Axial slice, Brain
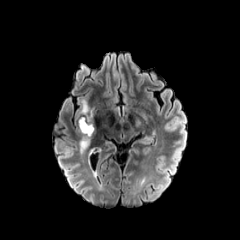
FLAIR MR.
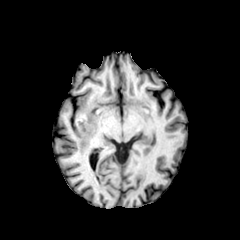
Same slice, T1-weighted MR image.
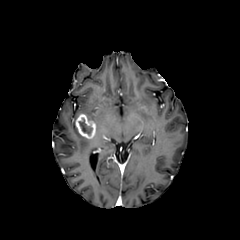
Post-contrast T1-weighted MRI.
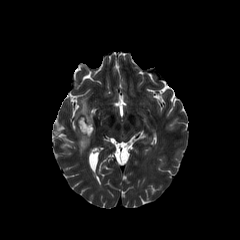
T2-weighted MR.
peritumoral edema = (x1=79, y1=136, x2=90, y2=152), (x1=78, y1=100, x2=94, y2=120)
necrotic tumor core = (x1=79, y1=119, x2=92, y2=134)
enhancing tumor = (x1=75, y1=114, x2=96, y2=139)